Image width 240 mm | Brain | Axial plane
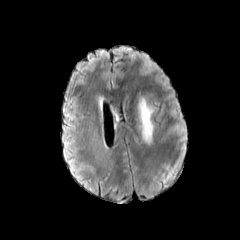
FLAIR MR.
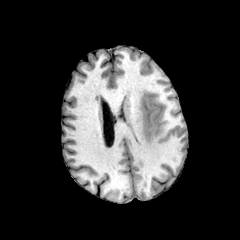
T1-weighted MRI.
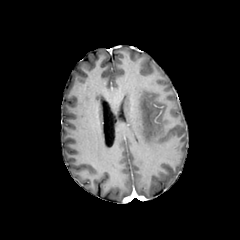
Post-contrast T1-weighted MR of the same slice.
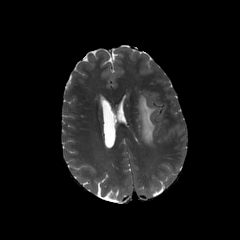
T2-weighted magnetic resonance.
• peritumoral edema: [138, 96, 154, 144]